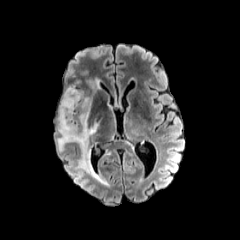
FLAIR MRI.
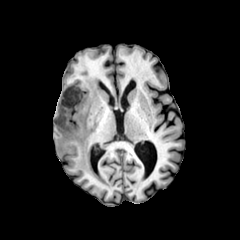
Same slice, T1-weighted MR image.
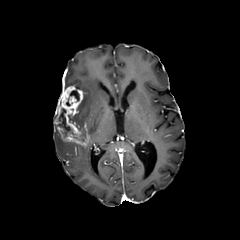
Same slice, post-contrast T1-weighted MR image.
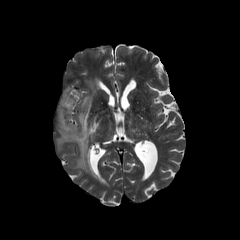
T2-weighted MR image.
Image size 240x240, Axial slice
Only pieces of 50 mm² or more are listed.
enhancing tumor: <bbox>54, 86, 89, 146</bbox>
peritumoral edema: <bbox>88, 122, 98, 136</bbox>, <bbox>77, 145, 99, 180</bbox>, <bbox>90, 80, 99, 89</bbox>, <bbox>78, 97, 91, 130</bbox>, <bbox>57, 138, 66, 151</bbox>
necrotic tumor core: <bbox>70, 90, 79, 100</bbox>, <bbox>57, 108, 74, 136</bbox>